FLAIR MR.
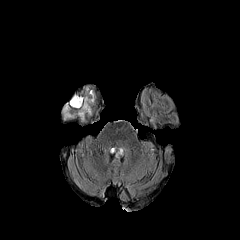
T1-weighted magnetic resonance.
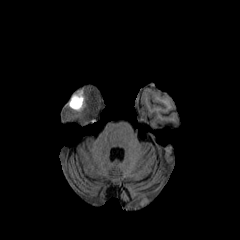
Post-contrast T1-weighted MRI.
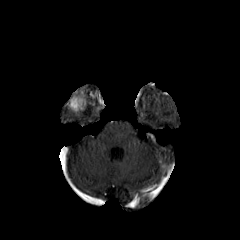
T2-weighted MR image.
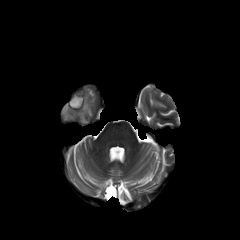
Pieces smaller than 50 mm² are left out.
The largest necrotic tumor core region lies within <bbox>71, 95, 82, 109</bbox>. The largest enhancing tumor region appears at <bbox>67, 91, 97, 115</bbox>. The 2 largest peritumoral edema regions appear at <bbox>79, 105, 91, 120</bbox>, <bbox>62, 104, 73, 119</bbox>.